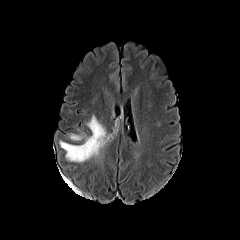
FLAIR MR image.
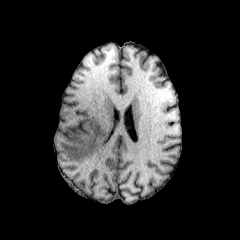
T1-weighted magnetic resonance of the same slice.
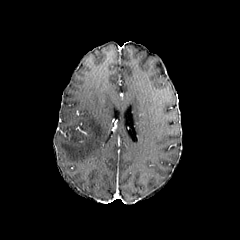
Post-contrast T1-weighted MR image.
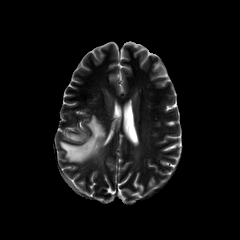
Same slice, T2-weighted MRI.
peritumoral edema: bounding box 59, 115, 108, 162; 70, 134, 84, 140